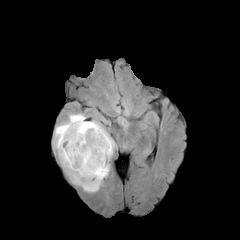
FLAIR magnetic resonance.
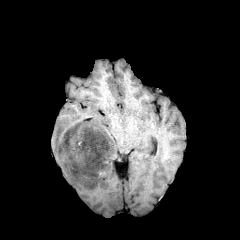
T1-weighted MR image of the same slice.
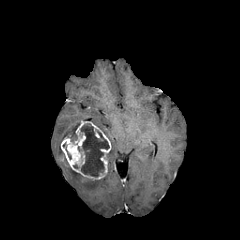
Same slice, post-contrast T1-weighted MR image.
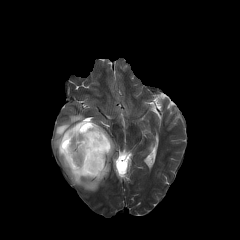
T2-weighted magnetic resonance.
Head | Axial view | Image size 240x240
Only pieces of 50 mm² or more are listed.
peritumoral edema: <box>91,120,115,177</box>, <box>53,114,103,192</box> | necrotic tumor core: <box>81,124,109,176</box> | enhancing tumor: <box>61,121,111,180</box>